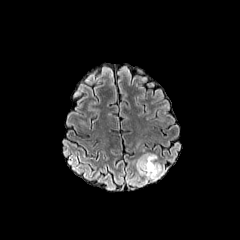
FLAIR magnetic resonance.
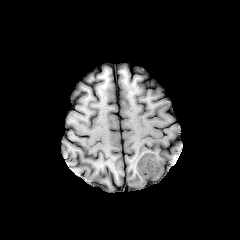
T1-weighted magnetic resonance.
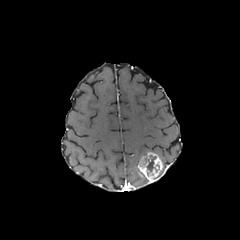
Post-contrast T1-weighted MRI of the same slice.
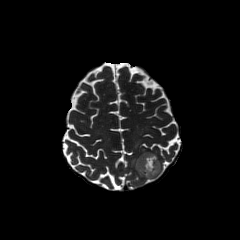
T2-weighted MRI.
Axial slice; 240x240; Brain
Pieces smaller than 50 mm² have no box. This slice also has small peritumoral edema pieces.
The largest necrotic tumor core region lies within {"x1": 147, "y1": 155, "x2": 155, "y2": 171}. The enhancing tumor is at {"x1": 137, "y1": 152, "x2": 163, "y2": 179}.